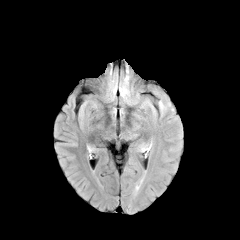
FLAIR MR.
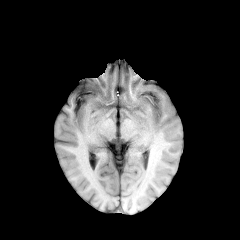
Same slice, T1-weighted magnetic resonance.
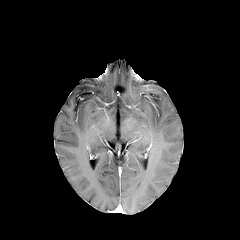
Post-contrast T1-weighted MR image of the same slice.
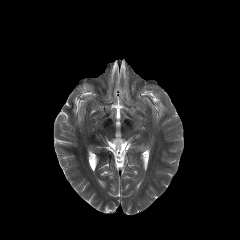
T2-weighted MR image.
Brain
{
  "peritumoral_edema": [
    "bbox=[158, 101, 167, 113]"
  ]
}